FLAIR magnetic resonance.
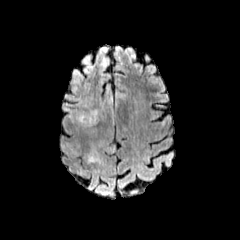
T1-weighted MRI.
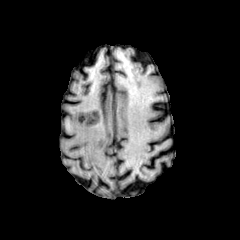
Post-contrast T1-weighted MR.
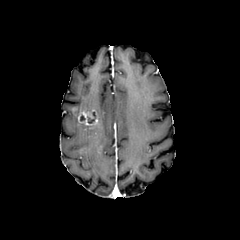
T2-weighted MR image.
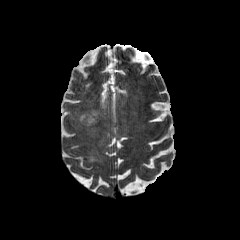
Head.
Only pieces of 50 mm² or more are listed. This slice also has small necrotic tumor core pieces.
enhancing tumor: box=[77, 110, 98, 126] | peritumoral edema: box=[87, 141, 107, 163]